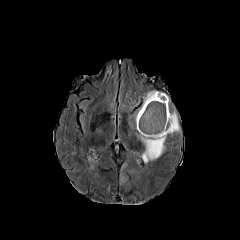
FLAIR magnetic resonance.
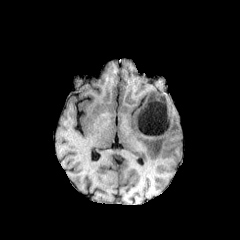
T1-weighted magnetic resonance of the same slice.
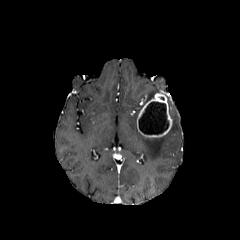
Same slice, post-contrast T1-weighted magnetic resonance.
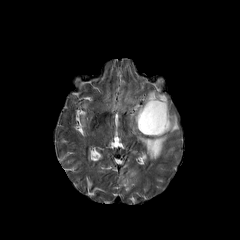
T2-weighted magnetic resonance.
Head; Image size 240x240; Axial slice
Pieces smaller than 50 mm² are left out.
The 2 largest peritumoral edema regions are bounded by {"x1": 144, "y1": 89, "x2": 158, "y2": 104}, {"x1": 136, "y1": 109, "x2": 179, "y2": 162}. The largest necrotic tumor core region lies within {"x1": 138, "y1": 102, "x2": 169, "y2": 134}. The enhancing tumor is at {"x1": 136, "y1": 92, "x2": 172, "y2": 137}.